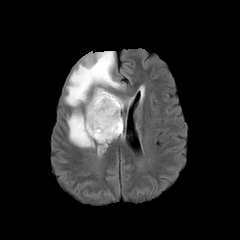
FLAIR MRI.
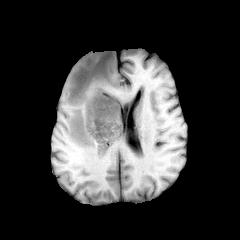
T1-weighted MR of the same slice.
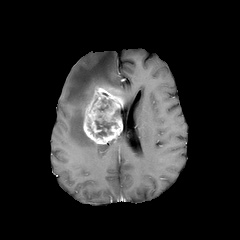
Same slice, post-contrast T1-weighted MR.
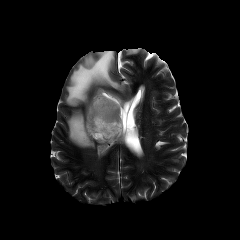
Same slice, T2-weighted MR.
Axial slice
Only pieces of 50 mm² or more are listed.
Segmented structures:
* enhancing tumor: box(83, 86, 124, 144)
* peritumoral edema: box(65, 51, 123, 106); box(67, 110, 94, 147)
* necrotic tumor core: box(95, 120, 115, 136)